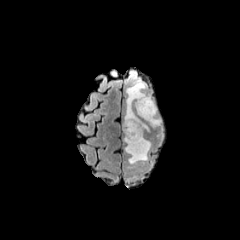
FLAIR magnetic resonance.
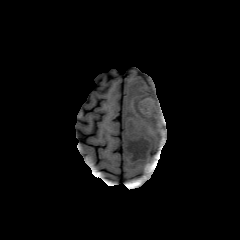
T1-weighted MR image.
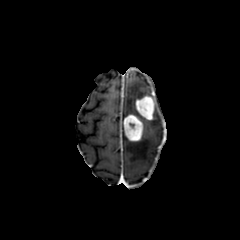
Post-contrast T1-weighted MR.
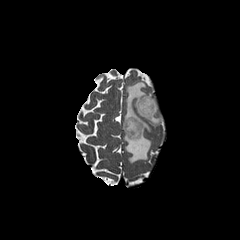
T2-weighted magnetic resonance.
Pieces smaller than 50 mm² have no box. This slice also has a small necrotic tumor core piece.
peritumoral edema = 149, 105, 161, 126; 124, 122, 151, 164; 125, 81, 146, 116
enhancing tumor = 135, 95, 155, 120; 123, 114, 143, 141